240x240 px | Head | Slice 89/155
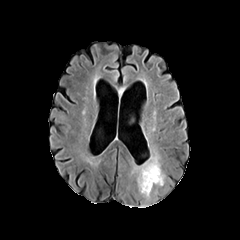
FLAIR MRI.
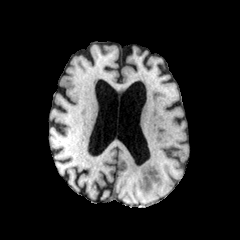
T1-weighted MR image of the same slice.
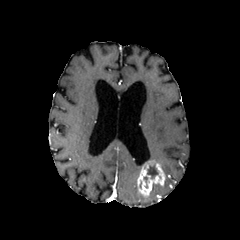
Same slice, post-contrast T1-weighted MR image.
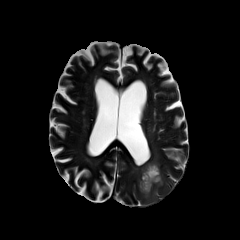
T2-weighted magnetic resonance.
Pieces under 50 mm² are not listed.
Segmented structures:
* enhancing tumor: left=137, top=161, right=165, bottom=196
* peritumoral edema: left=131, top=165, right=141, bottom=172; left=150, top=149, right=161, bottom=161
* necrotic tumor core: left=147, top=166, right=158, bottom=179